Image width 240 mm, 1.00 mm slice spacing; Axial slice; 240x240
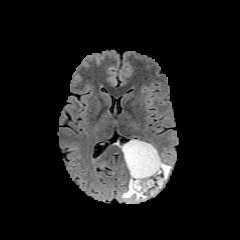
FLAIR MR.
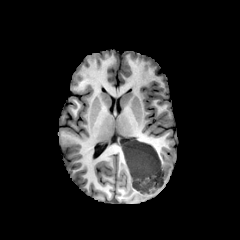
Same slice, T1-weighted MRI.
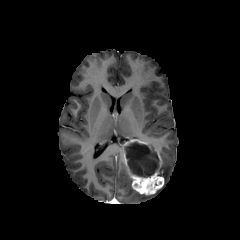
Post-contrast T1-weighted magnetic resonance.
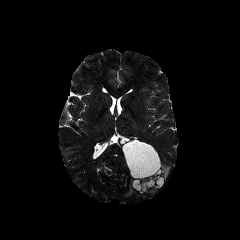
Same slice, T2-weighted MR image.
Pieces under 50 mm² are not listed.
peritumoral edema at (left=122, top=179, right=146, bottom=200), (left=158, top=162, right=171, bottom=180)
necrotic tumor core at (left=124, top=142, right=159, bottom=176)
enhancing tumor at (left=122, top=139, right=164, bottom=194)